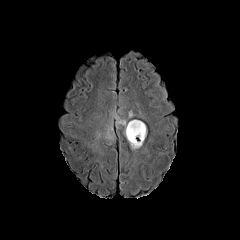
FLAIR MR image.
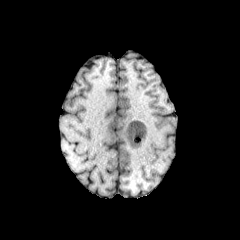
T1-weighted MR image.
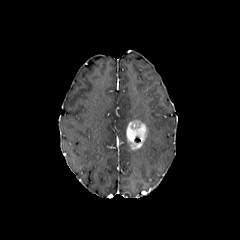
Post-contrast T1-weighted MR image.
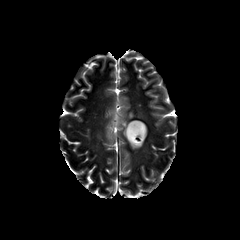
Same slice, T2-weighted MRI.
Head
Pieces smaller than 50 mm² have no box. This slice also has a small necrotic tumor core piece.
<segmentation>
  <peritumoral_edema>bbox(106, 128, 112, 138); bbox(113, 114, 128, 136)</peritumoral_edema>
  <enhancing_tumor>bbox(126, 120, 147, 149)</enhancing_tumor>
</segmentation>